Image width 240 mm
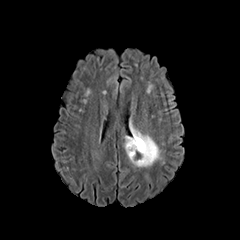
FLAIR MR image.
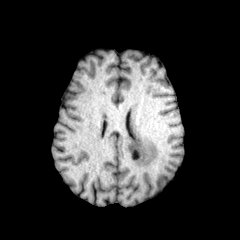
T1-weighted MR image.
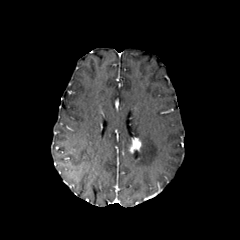
Same slice, post-contrast T1-weighted MR.
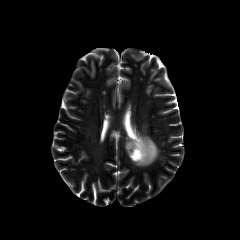
T2-weighted MR.
enhancing tumor: box(129, 137, 141, 153)
peritumoral edema: box(124, 120, 160, 167)